FLAIR MR image.
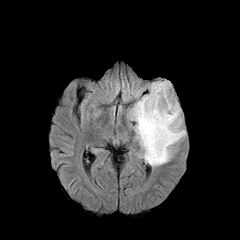
T1-weighted MR.
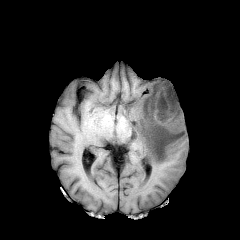
Post-contrast T1-weighted MR image.
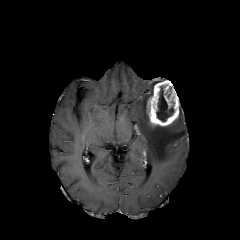
T2-weighted MR image.
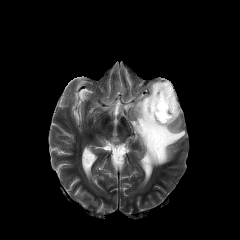
Image size 240x240 | Brain
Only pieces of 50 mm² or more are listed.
{"enhancing_tumor": ["(left=146, top=80, right=179, bottom=126)"], "necrotic_tumor_core": ["(left=156, top=86, right=173, bottom=121)"], "peritumoral_edema": ["(left=129, top=82, right=185, bottom=166)"]}